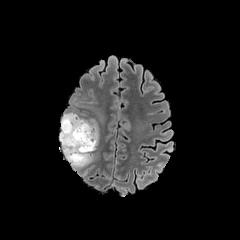
FLAIR MR.
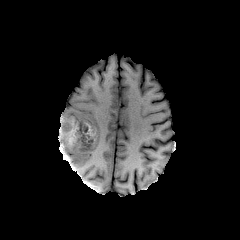
Same slice, T1-weighted MR image.
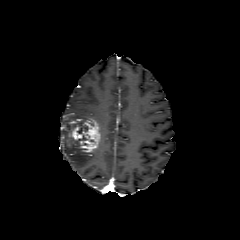
Same slice, post-contrast T1-weighted magnetic resonance.
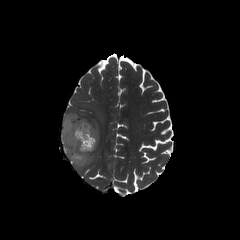
Same slice, T2-weighted magnetic resonance.
Brain | Image size 240x240
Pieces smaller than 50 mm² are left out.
enhancing tumor: bounding box 61:118:100:152
peritumoral edema: bounding box 61:112:82:128, 60:128:93:167
necrotic tumor core: bounding box 77:125:88:133